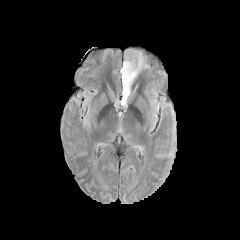
FLAIR magnetic resonance.
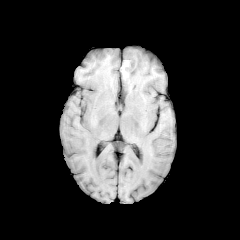
T1-weighted MR.
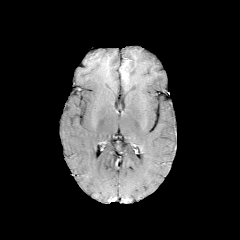
Post-contrast T1-weighted MRI of the same slice.
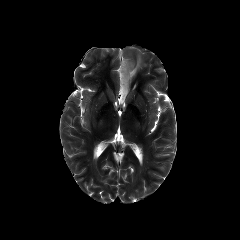
Same slice, T2-weighted MR.
240x240 px; Brain; Axial view
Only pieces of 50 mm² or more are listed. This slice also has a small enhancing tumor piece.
necrotic tumor core: bbox=[122, 62, 128, 75] | peritumoral edema: bbox=[120, 55, 146, 99]